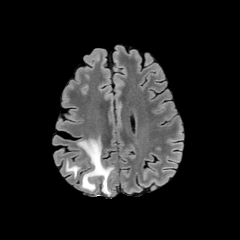
FLAIR MR.
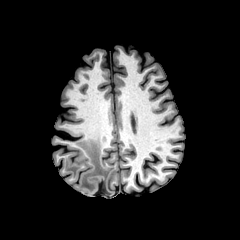
Same slice, T1-weighted MR.
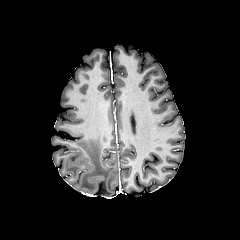
Post-contrast T1-weighted MR.
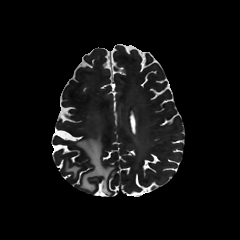
T2-weighted MR image.
Head
{"peritumoral_edema": ["77:138:114:194", "66:158:80:177"]}